Brain. Image size 240x240.
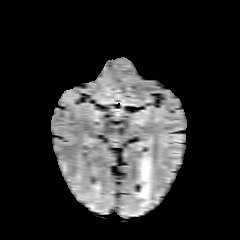
FLAIR MR image.
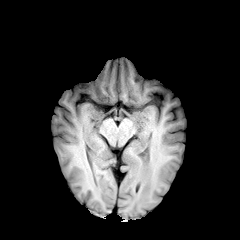
T1-weighted MR image.
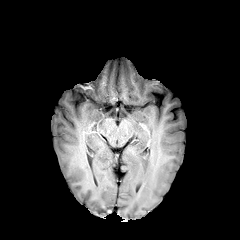
Post-contrast T1-weighted MRI.
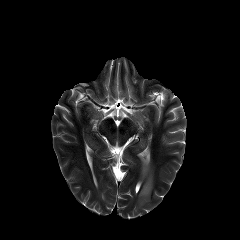
T2-weighted MRI.
Annotated regions:
• peritumoral edema: x1=137 y1=158 x2=152 y2=205